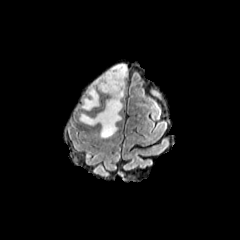
FLAIR magnetic resonance.
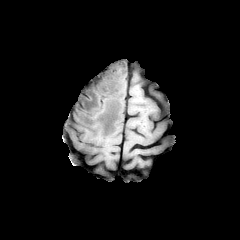
T1-weighted MR image.
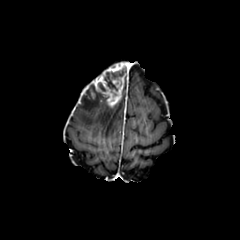
Post-contrast T1-weighted MRI.
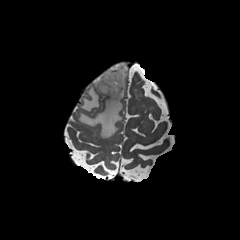
T2-weighted magnetic resonance.
Axial slice
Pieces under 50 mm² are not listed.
The 2 largest peritumoral edema regions are located at [x1=79, y1=100, x2=122, y2=137], [x1=82, y1=89, x2=99, y2=110]. The enhancing tumor is bounded by [x1=87, y1=63, x2=127, y2=107]. The largest necrotic tumor core region appears at [x1=104, y1=76, x2=117, y2=90].